FLAIR MR.
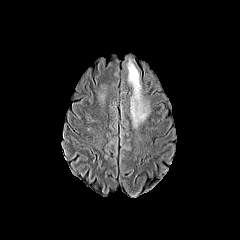
T1-weighted magnetic resonance.
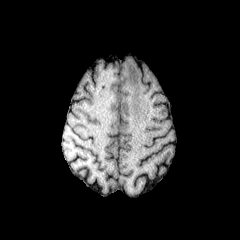
Post-contrast T1-weighted MR.
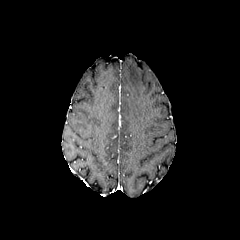
T2-weighted MR.
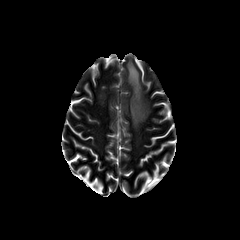
Brain
peritumoral_edema:
  - [127, 60, 148, 127]